FLAIR MR image.
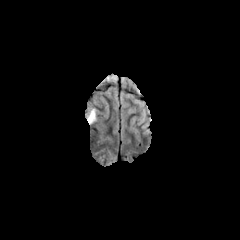
T1-weighted MRI.
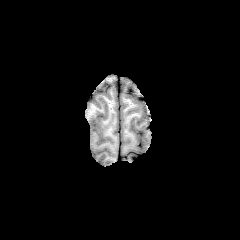
Post-contrast T1-weighted MRI.
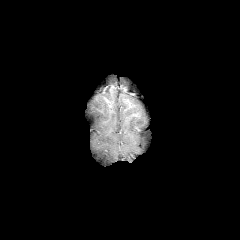
T2-weighted MR.
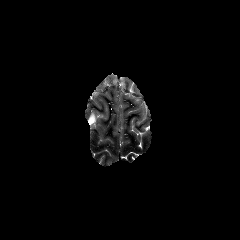
Image size 240x240. Axial view.
peritumoral_edema:
  - box=[87, 109, 96, 124]